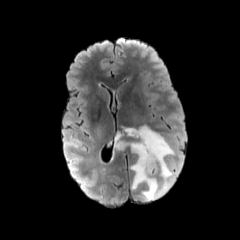
FLAIR MRI.
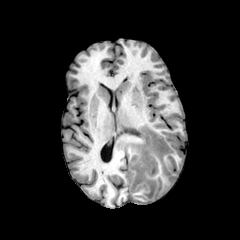
T1-weighted MR image of the same slice.
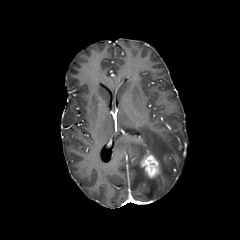
Post-contrast T1-weighted MRI of the same slice.
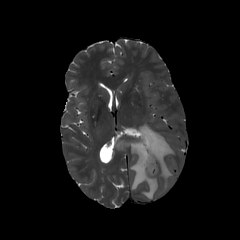
T2-weighted MR of the same slice.
Head
Annotated regions:
- peritumoral edema: <bbox>114, 125, 174, 199</bbox>
- enhancing tumor: <bbox>140, 151, 159, 178</bbox>